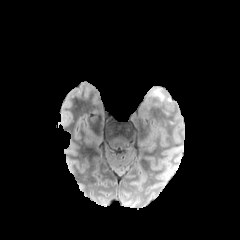
FLAIR MRI.
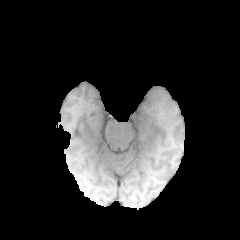
T1-weighted MR image.
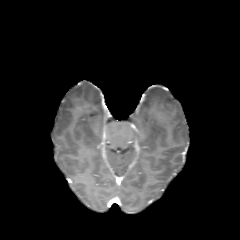
Post-contrast T1-weighted MR image.
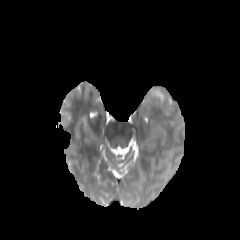
T2-weighted magnetic resonance of the same slice.
240x240.
peritumoral edema: rect(154, 88, 171, 102)